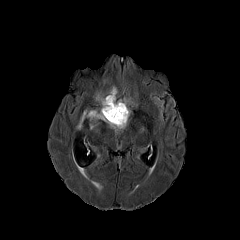
FLAIR MRI.
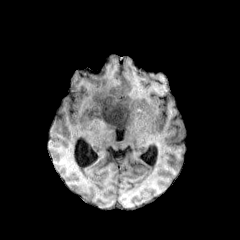
T1-weighted MRI.
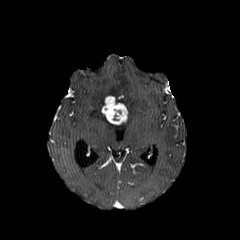
Post-contrast T1-weighted MR of the same slice.
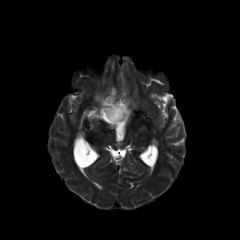
T2-weighted MR of the same slice.
Axial view
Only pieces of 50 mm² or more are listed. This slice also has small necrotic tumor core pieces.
{"peritumoral_edema": ["x1=95, y1=92, x2=105, y2=106", "x1=77, y1=108, x2=127, y2=131", "x1=108, y1=86, x2=117, y2=97", "x1=116, y1=98, x2=130, y2=106"], "enhancing_tumor": ["x1=101, y1=96, x2=128, y2=125"]}